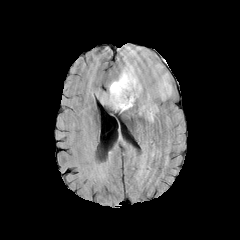
FLAIR MR image.
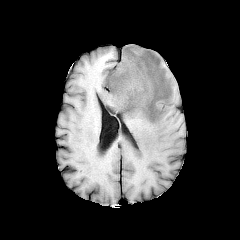
T1-weighted MR image of the same slice.
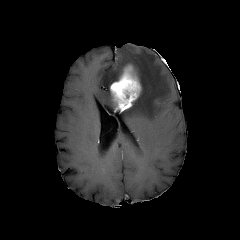
Same slice, post-contrast T1-weighted MR.
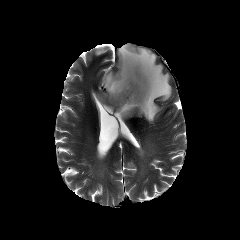
T2-weighted MR.
Axial slice. Image size 240x240.
The enhancing tumor is located at {"x1": 110, "y1": 64, "x2": 141, "y2": 112}. The peritumoral edema is located at {"x1": 100, "y1": 45, "x2": 173, "y2": 122}.